Axial plane. Image width 240 mm, 1.00 mm slice spacing.
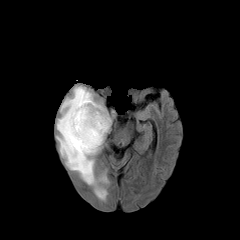
FLAIR magnetic resonance.
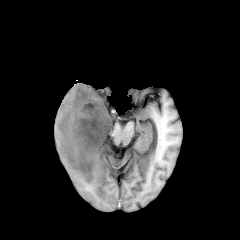
Same slice, T1-weighted MR.
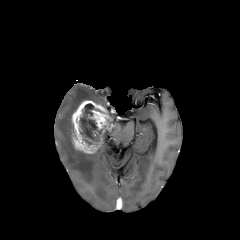
Post-contrast T1-weighted MR image.
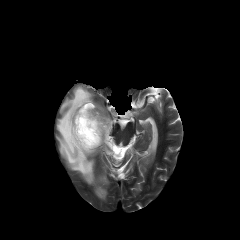
T2-weighted MRI of the same slice.
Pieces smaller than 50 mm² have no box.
The enhancing tumor is located at 72, 100, 112, 153. The largest peritumoral edema region is bounded by 56, 86, 108, 199. The largest necrotic tumor core region is at 80, 103, 101, 141.